FLAIR MR image.
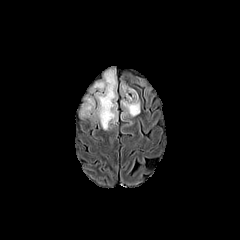
T1-weighted MR image.
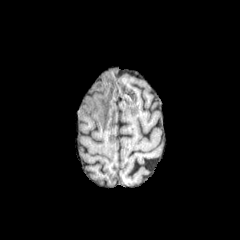
Post-contrast T1-weighted MR.
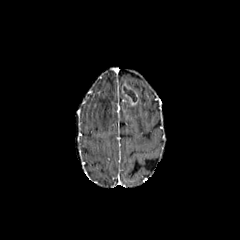
T2-weighted MRI.
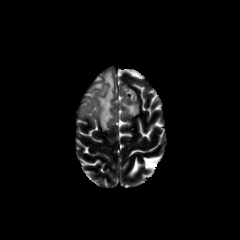
Image size 240x240, Head, Axial view
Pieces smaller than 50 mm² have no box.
The necrotic tumor core is at [123, 86, 137, 102]. The 2 largest peritumoral edema regions are bounded by [78, 69, 117, 130], [121, 98, 139, 117]. The enhancing tumor is located at [122, 84, 138, 105].